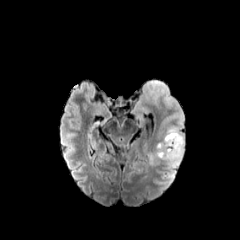
FLAIR MRI.
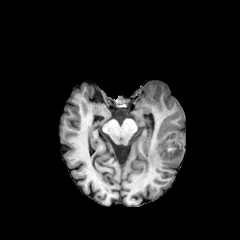
Same slice, T1-weighted MR.
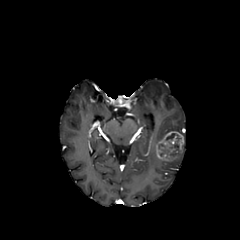
Post-contrast T1-weighted MR image.
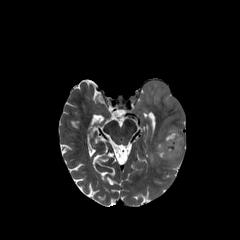
T2-weighted MR.
Image size 240x240
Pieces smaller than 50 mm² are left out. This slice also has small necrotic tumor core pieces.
The 3 largest peritumoral edema regions appear at 133 79 184 139, 150 151 159 163, 168 153 182 166. The enhancing tumor appears at 156 131 184 160.